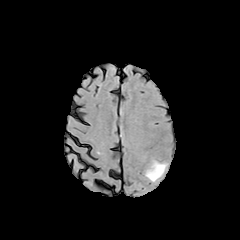
FLAIR magnetic resonance.
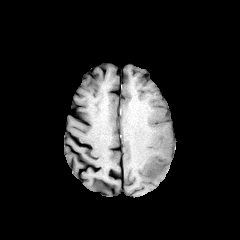
T1-weighted MR.
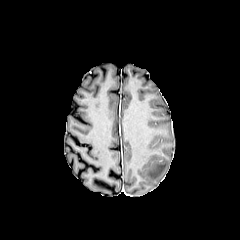
Post-contrast T1-weighted MR.
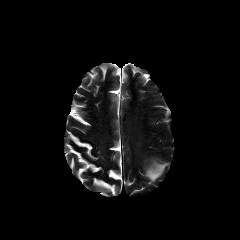
T2-weighted magnetic resonance.
240x240 px, Axial slice, Brain
{
  "peritumoral_edema": [
    {"x1": 145, "y1": 161, "x2": 167, "y2": 181}
  ]
}